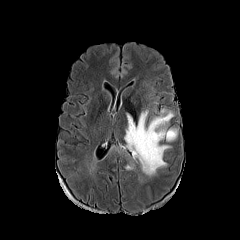
FLAIR MR image.
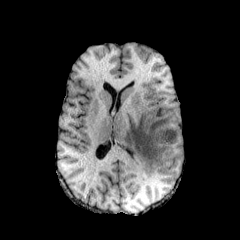
Same slice, T1-weighted magnetic resonance.
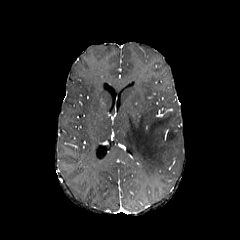
Post-contrast T1-weighted magnetic resonance.
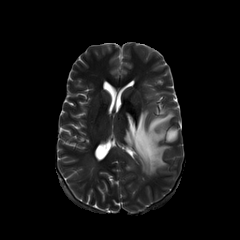
Same slice, T2-weighted MRI.
Axial view | Head
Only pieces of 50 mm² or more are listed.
peritumoral edema: x1=124 y1=110 x2=174 y2=176, x1=166 y1=128 x2=177 y2=141